Image width 240 mm | Axial view | 240x240 px
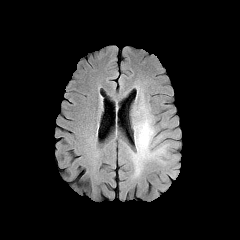
FLAIR MR.
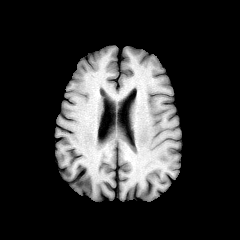
T1-weighted MR.
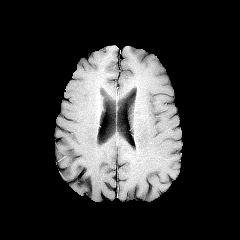
Post-contrast T1-weighted magnetic resonance.
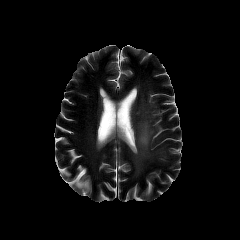
T2-weighted MR image.
The peritumoral edema is at x1=135 y1=107 x2=164 y2=161.